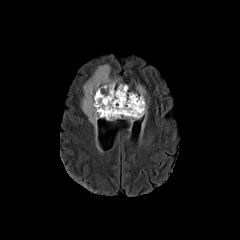
FLAIR magnetic resonance.
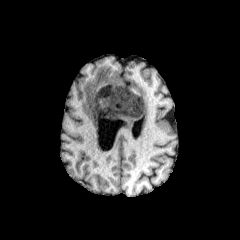
T1-weighted MRI.
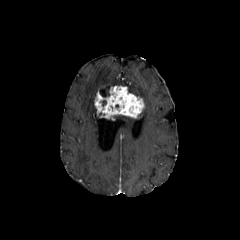
Post-contrast T1-weighted MR of the same slice.
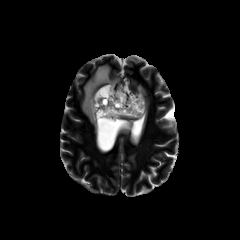
T2-weighted MR of the same slice.
Image size 240x240
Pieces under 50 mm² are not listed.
<segmentation>
  <peritumoral_edema>(left=129, top=85, right=147, bottom=128), (left=114, top=115, right=136, bottom=123), (left=81, top=64, right=118, bottom=131)</peritumoral_edema>
  <necrotic_tumor_core>(left=99, top=85, right=110, bottom=97)</necrotic_tumor_core>
  <enhancing_tumor>(left=94, top=86, right=144, bottom=119)</enhancing_tumor>
</segmentation>